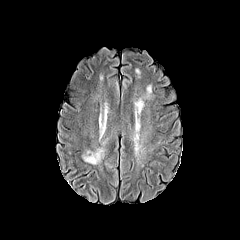
FLAIR MRI.
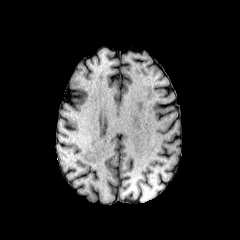
T1-weighted MRI.
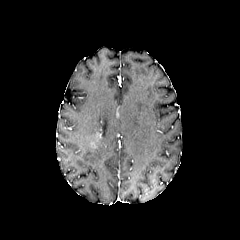
Post-contrast T1-weighted magnetic resonance.
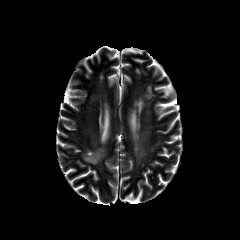
Same slice, T2-weighted MR.
Axial plane; Head
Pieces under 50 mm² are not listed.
peritumoral edema: (99,121,106,137), (83,148,104,164)